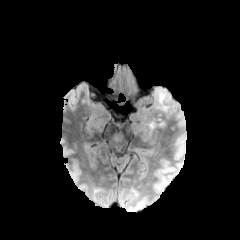
FLAIR MR.
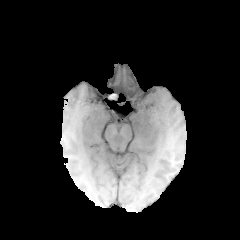
T1-weighted MR image of the same slice.
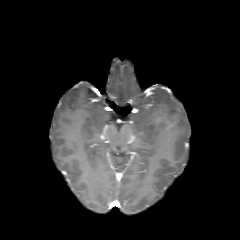
Post-contrast T1-weighted MRI.
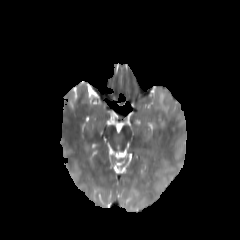
Same slice, T2-weighted MR.
Brain
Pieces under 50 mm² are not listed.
{"peritumoral_edema": ["region(155, 89, 171, 110)"]}